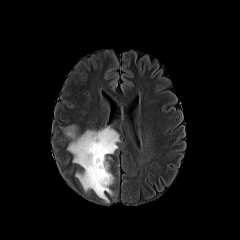
FLAIR MRI.
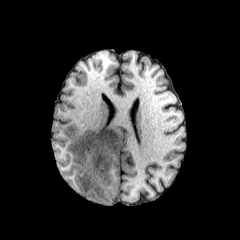
T1-weighted MRI.
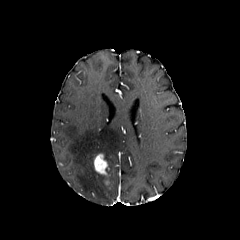
Same slice, post-contrast T1-weighted magnetic resonance.
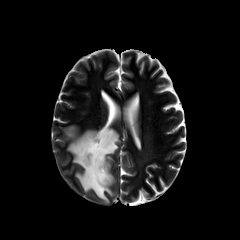
T2-weighted MR.
Axial view; Head
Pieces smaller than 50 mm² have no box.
peritumoral edema — [64, 125, 120, 202]
enhancing tumor — [94, 153, 108, 176]